Brain.
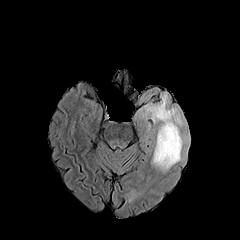
FLAIR MR image.
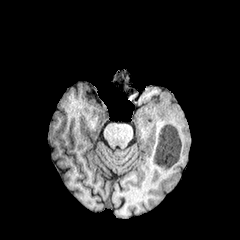
T1-weighted MR image.
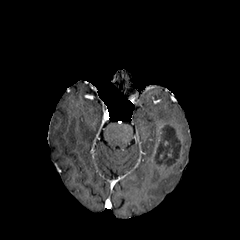
Post-contrast T1-weighted MR image of the same slice.
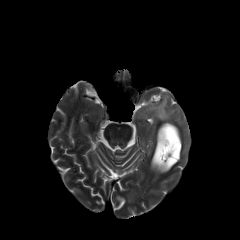
T2-weighted MR image.
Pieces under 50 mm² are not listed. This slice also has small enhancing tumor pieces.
The necrotic tumor core is located at <bbox>155, 125, 180, 165</bbox>. The peritumoral edema is bounded by <bbox>143, 94, 186, 171</bbox>.